FLAIR MR image.
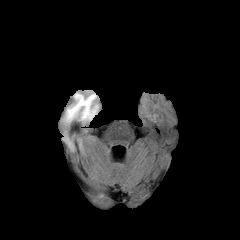
T1-weighted MR image.
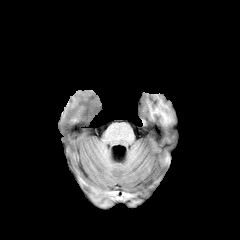
Post-contrast T1-weighted MR image.
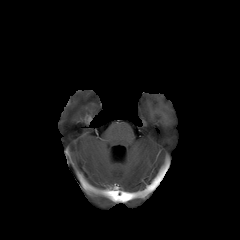
T2-weighted MRI.
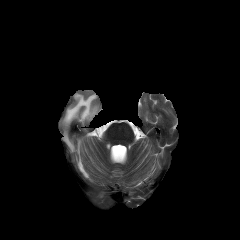
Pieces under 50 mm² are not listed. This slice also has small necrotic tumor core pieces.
enhancing tumor at [79, 102, 98, 123]
peritumoral edema at [63, 93, 96, 125], [63, 135, 74, 150]